Axial plane. Image width 240 mm.
FLAIR MR image.
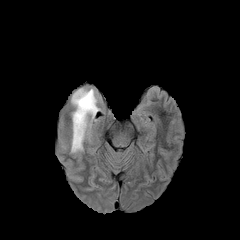
T1-weighted MR.
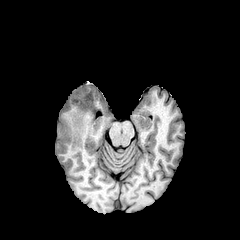
Post-contrast T1-weighted MR.
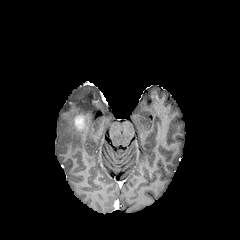
T2-weighted MR image.
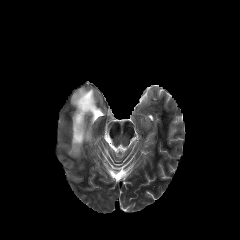
enhancing tumor: x1=74, y1=114, x2=85, y2=131
peritumoral edema: x1=71, y1=88, x2=99, y2=152